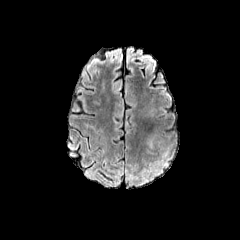
FLAIR MR image.
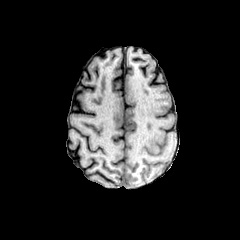
T1-weighted MRI.
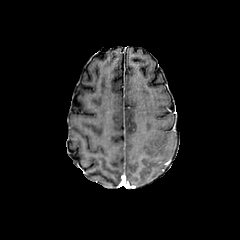
Post-contrast T1-weighted MR image of the same slice.
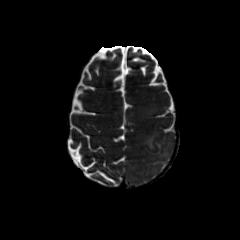
T2-weighted MRI.
Head.
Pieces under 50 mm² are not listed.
The largest peritumoral edema region appears at bbox=[142, 133, 154, 148].